FLAIR MRI.
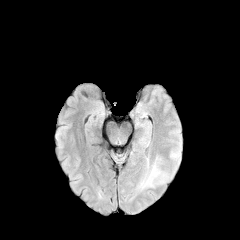
T1-weighted MR.
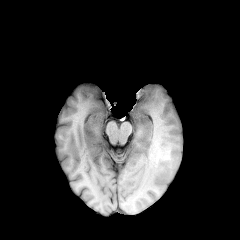
Post-contrast T1-weighted MRI.
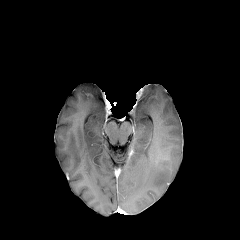
T2-weighted MR.
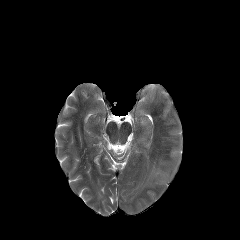
Head. Axial plane.
peritumoral_edema:
  - box(151, 167, 159, 176)